Brain, Image covers 240 mm x 240 mm, 240x240
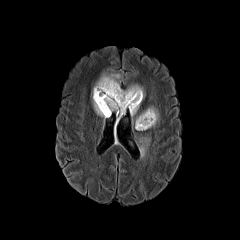
FLAIR magnetic resonance.
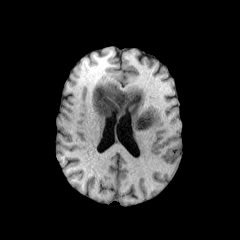
T1-weighted MR image.
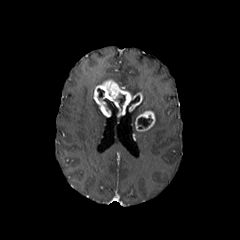
Post-contrast T1-weighted MR image of the same slice.
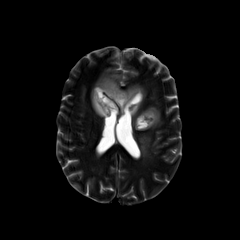
T2-weighted MRI.
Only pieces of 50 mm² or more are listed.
5 necrotic tumor core regions appear at [138,117,152,129], [118,95,125,108], [126,95,139,111], [103,98,118,115], [97,88,104,98]. The 5 largest peritumoral edema regions appear at [124,84,144,98], [145,106,159,126], [92,73,121,121], [139,136,150,155], [129,105,139,116]. 2 enhancing tumor regions are bounded by [135,110,155,131], [93,79,142,117].